Image covers 240 mm x 240 mm
FLAIR magnetic resonance.
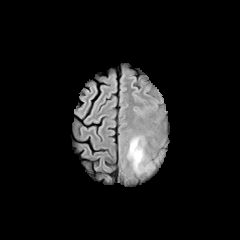
T1-weighted MR.
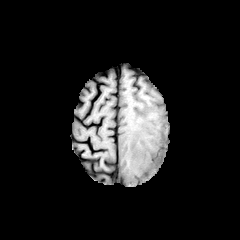
Post-contrast T1-weighted MR.
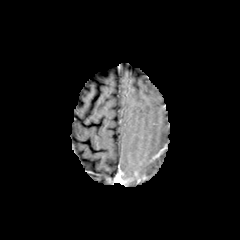
T2-weighted magnetic resonance.
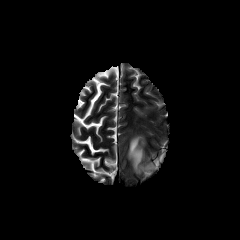
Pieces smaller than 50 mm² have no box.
peritumoral_edema:
  - box(127, 136, 154, 173)